FLAIR MR.
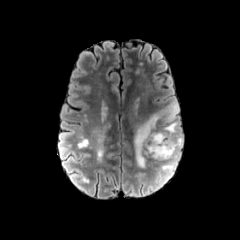
T1-weighted MRI.
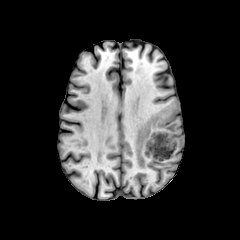
Post-contrast T1-weighted MR image.
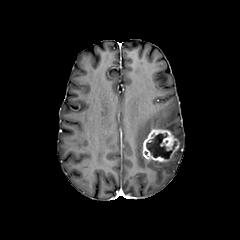
T2-weighted MR image.
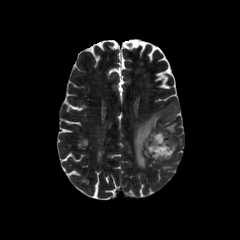
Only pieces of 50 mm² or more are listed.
enhancing tumor: bounding box bbox(142, 129, 179, 161)
peritumoral edema: bounding box bbox(134, 101, 183, 172)
necrotic tumor core: bounding box bbox(146, 133, 172, 158)